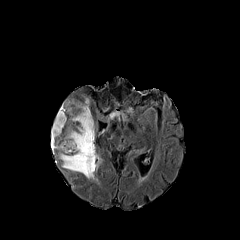
FLAIR MRI.
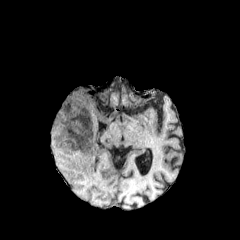
T1-weighted MRI.
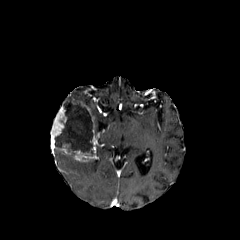
Post-contrast T1-weighted MR.
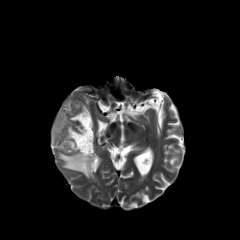
T2-weighted magnetic resonance of the same slice.
Brain, Image size 240x240
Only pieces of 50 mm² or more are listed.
peritumoral_edema:
  - [58,152,96,178]
necrotic_tumor_core:
  - [55,98,93,155]
enhancing_tumor:
  - [73,123,96,161]
  - [50,100,72,154]